Image width 240 mm, 1.00 mm slice spacing. Image size 240x240.
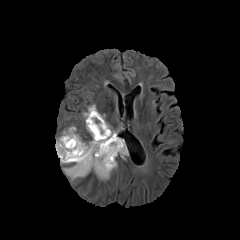
FLAIR magnetic resonance.
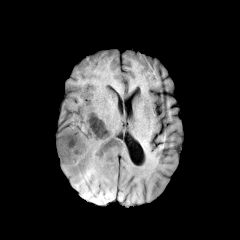
T1-weighted MR image.
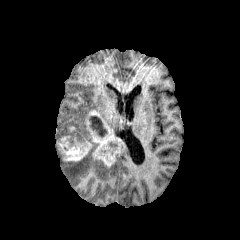
Same slice, post-contrast T1-weighted MR.
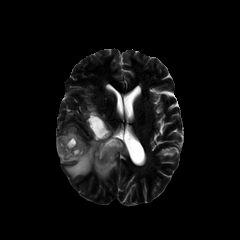
T2-weighted MR.
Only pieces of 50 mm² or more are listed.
<segmentation>
  <necrotic_tumor_core>(left=91, top=116, right=106, bottom=136)</necrotic_tumor_core>
  <peritumoral_edema>(left=60, top=140, right=117, bottom=179), (left=56, top=128, right=69, bottom=144), (left=83, top=104, right=97, bottom=122), (left=120, top=140, right=127, bottom=157)</peritumoral_edema>
  <enhancing_tumor>(left=86, top=110, right=121, bottom=166), (left=56, top=127, right=92, bottom=161)</enhancing_tumor>
</segmentation>